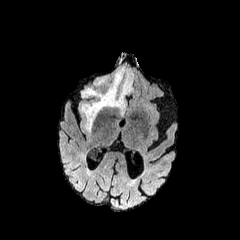
FLAIR MRI.
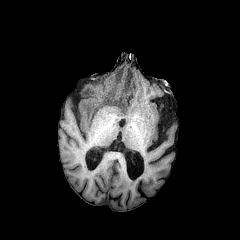
T1-weighted MR image.
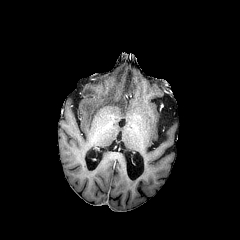
Post-contrast T1-weighted MR.
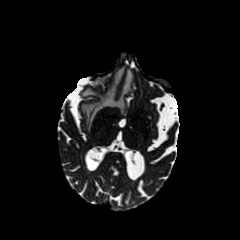
T2-weighted MR image.
Brain
peritumoral edema: 82,67,132,130; 94,77,106,85